FLAIR MR image.
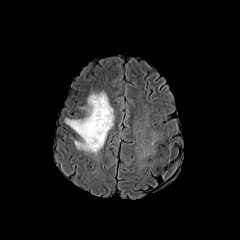
T1-weighted MR image.
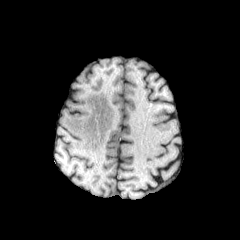
Post-contrast T1-weighted MR image.
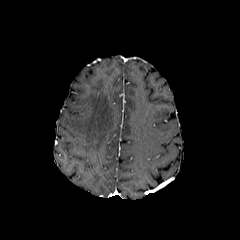
T2-weighted MRI.
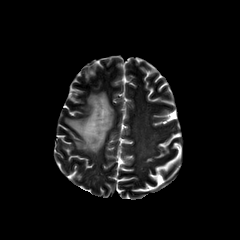
Axial view
peritumoral_edema:
  - [65, 92, 114, 153]